Image covers 240 mm x 240 mm, Head, Axial slice
FLAIR MR.
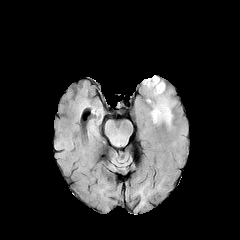
T1-weighted MR.
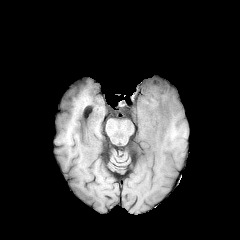
Post-contrast T1-weighted MR image.
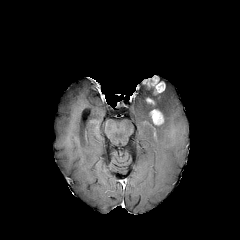
T2-weighted magnetic resonance.
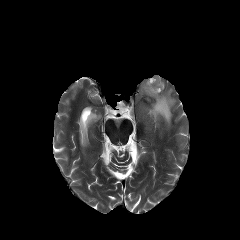
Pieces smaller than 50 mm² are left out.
Segmented structures:
* enhancing tumor: [143, 76, 165, 94], [150, 109, 163, 124]
* peritumoral edema: [144, 86, 174, 125]